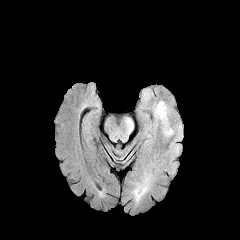
FLAIR MR image.
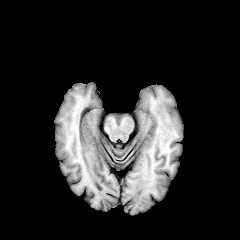
Same slice, T1-weighted MR.
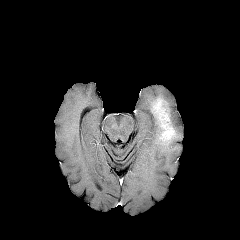
Post-contrast T1-weighted MR.
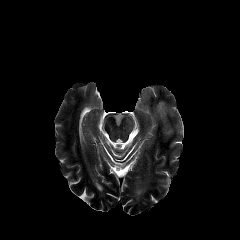
T2-weighted MR of the same slice.
Head
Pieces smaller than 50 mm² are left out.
<segmentation>
  <peritumoral_edema>x1=154 y1=113 x2=169 y2=141</peritumoral_edema>
  <enhancing_tumor>x1=153 y1=100 x2=173 y2=137</enhancing_tumor>
</segmentation>